FLAIR MRI.
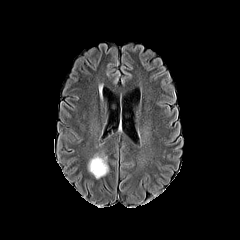
T1-weighted MRI.
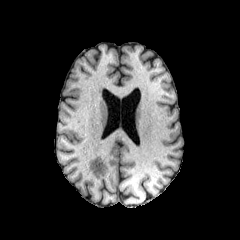
Post-contrast T1-weighted MR.
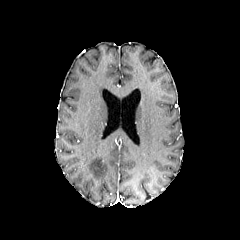
T2-weighted MRI.
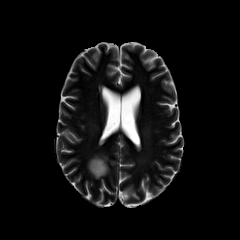
Head
peritumoral edema = 88, 155, 108, 178